FLAIR MR image.
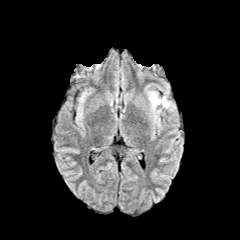
T1-weighted MR image.
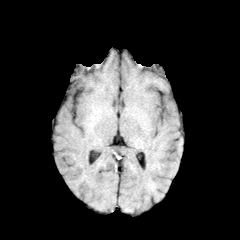
Post-contrast T1-weighted magnetic resonance.
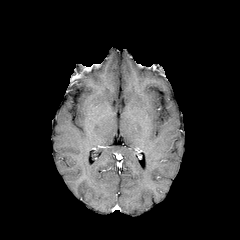
T2-weighted MR image.
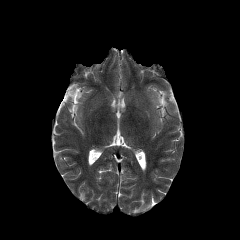
Brain.
peritumoral edema: bounding box [150,93,168,106]